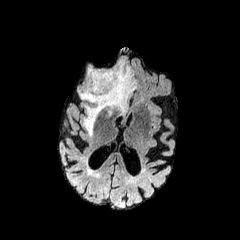
FLAIR magnetic resonance.
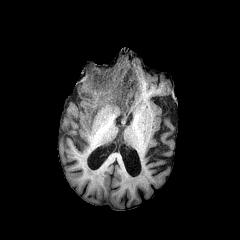
Same slice, T1-weighted magnetic resonance.
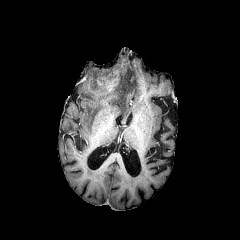
Post-contrast T1-weighted magnetic resonance.
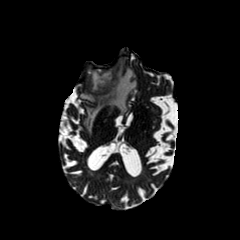
T2-weighted magnetic resonance.
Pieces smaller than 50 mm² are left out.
The largest enhancing tumor region is bounded by [x1=95, y1=71, x2=118, y2=92]. The peritumoral edema is at [x1=80, y1=60, x2=136, y2=135].